FLAIR MR image.
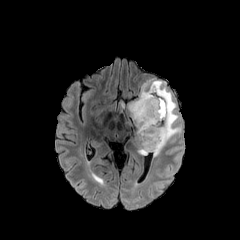
T1-weighted magnetic resonance.
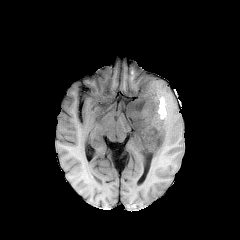
Post-contrast T1-weighted MR image.
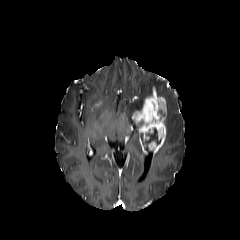
T2-weighted MRI.
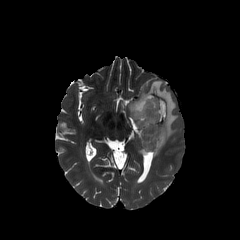
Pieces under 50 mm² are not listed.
peritumoral_edema:
  - x1=128 y1=80 x2=181 y2=156
necrotic_tumor_core:
  - x1=143 y1=128 x2=159 y2=148
enhancing_tumor:
  - x1=132 y1=87 x2=166 y2=154